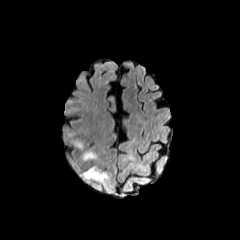
FLAIR magnetic resonance.
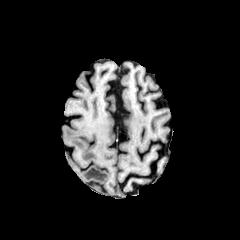
T1-weighted MR of the same slice.
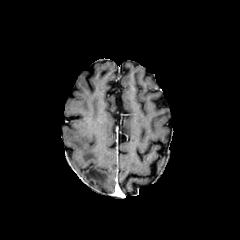
Post-contrast T1-weighted MRI of the same slice.
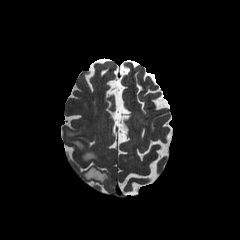
Same slice, T2-weighted MR.
Image size 240x240.
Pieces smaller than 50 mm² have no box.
Annotated regions:
* peritumoral edema: bbox(83, 151, 96, 160); bbox(82, 167, 108, 183); bbox(72, 140, 84, 149)